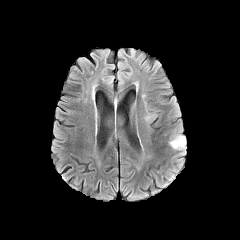
FLAIR magnetic resonance.
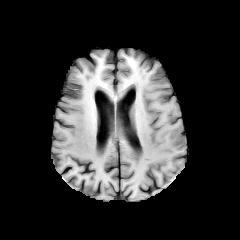
T1-weighted MR.
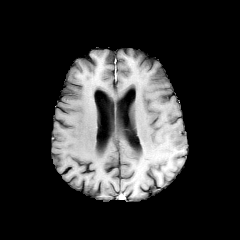
Same slice, post-contrast T1-weighted MR.
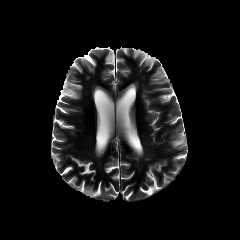
T2-weighted magnetic resonance.
{"peritumoral_edema": ["(170,135,187,147)"]}